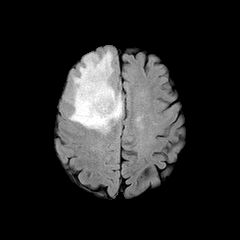
FLAIR MR.
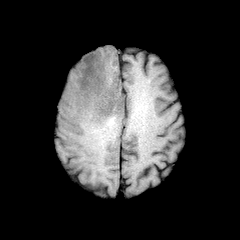
Same slice, T1-weighted MR image.
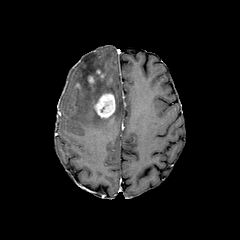
Post-contrast T1-weighted MRI.
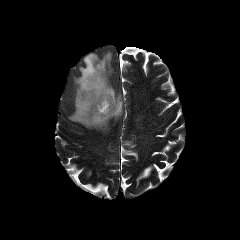
T2-weighted MRI.
Brain
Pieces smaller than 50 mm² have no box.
The peritumoral edema is located at 69 50 122 131. The 2 largest enhancing tumor regions are located at 94 92 115 118, 88 76 94 86.